240x240 | Image width 240 mm | Head
FLAIR MR image.
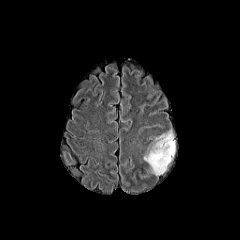
T1-weighted MR image.
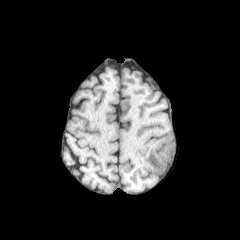
Post-contrast T1-weighted magnetic resonance.
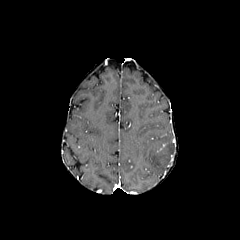
T2-weighted MR image.
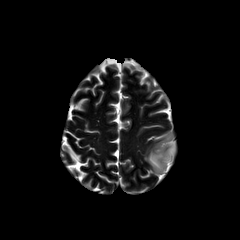
{
  "peritumoral_edema": [
    "left=144, top=132, right=175, bottom=175"
  ]
}